FLAIR MR.
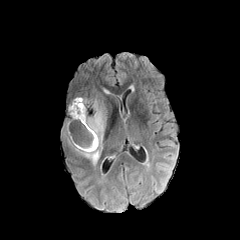
T1-weighted magnetic resonance.
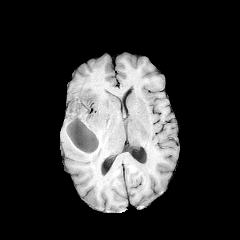
Post-contrast T1-weighted MR image.
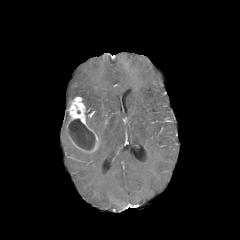
T2-weighted magnetic resonance.
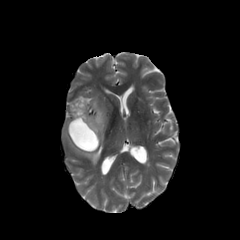
Axial plane. 240x240 px. Brain.
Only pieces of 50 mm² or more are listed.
<segmentation>
  <peritumoral_edema>{"x1": 77, "y1": 98, "x2": 105, "y2": 162}</peritumoral_edema>
  <enhancing_tumor>{"x1": 66, "y1": 97, "x2": 99, "y2": 153}</enhancing_tumor>
  <necrotic_tumor_core>{"x1": 68, "y1": 119, "x2": 95, "y2": 149}</necrotic_tumor_core>
</segmentation>